FLAIR MR image.
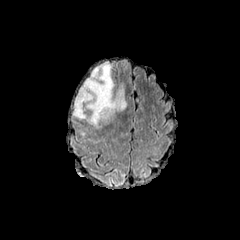
T1-weighted MR.
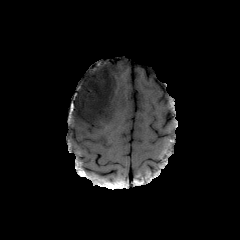
Post-contrast T1-weighted MRI.
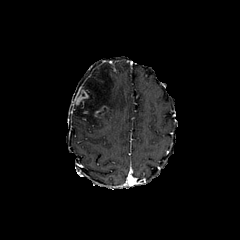
T2-weighted MR.
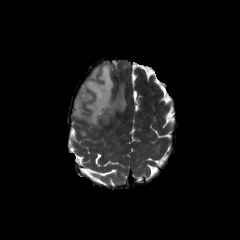
Brain. 240x240.
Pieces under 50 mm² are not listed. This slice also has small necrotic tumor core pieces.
enhancing tumor = (76,89,89,105), (94,105,111,119)
peritumoral edema = (72,62,126,128)